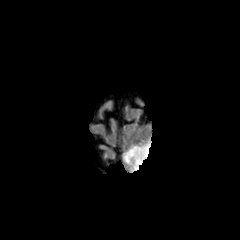
FLAIR magnetic resonance.
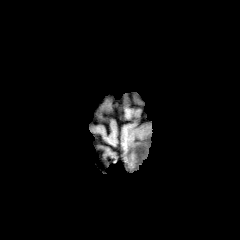
T1-weighted MR of the same slice.
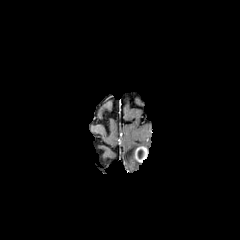
Post-contrast T1-weighted MR image of the same slice.
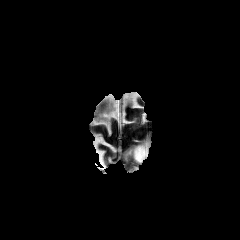
T2-weighted MR.
Axial view
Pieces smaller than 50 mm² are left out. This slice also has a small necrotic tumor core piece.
enhancing tumor: bounding box [x1=134, y1=145, x2=148, y2=162]
peritumoral edema: bounding box [x1=123, y1=141, x2=151, y2=171]